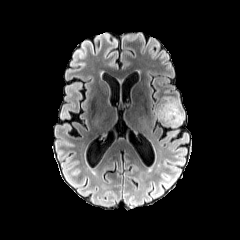
FLAIR MRI.
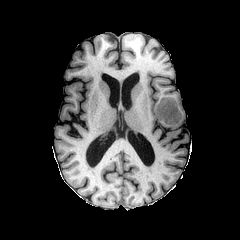
Same slice, T1-weighted MR image.
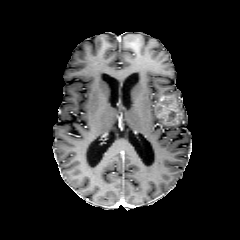
Same slice, post-contrast T1-weighted MR.
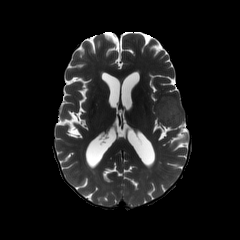
T2-weighted magnetic resonance.
Head; 240x240; Axial view
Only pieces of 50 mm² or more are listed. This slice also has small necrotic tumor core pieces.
peritumoral_edema:
  - 173:97:184:124
enhancing_tumor:
  - 156:96:182:124